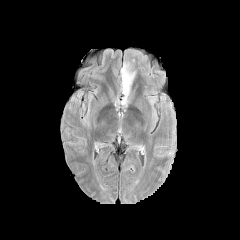
FLAIR magnetic resonance.
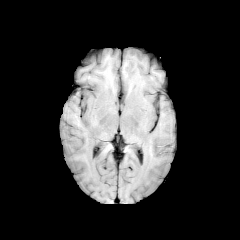
T1-weighted MRI.
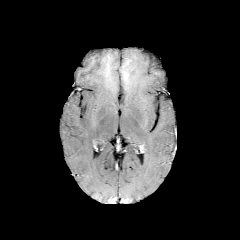
Post-contrast T1-weighted magnetic resonance.
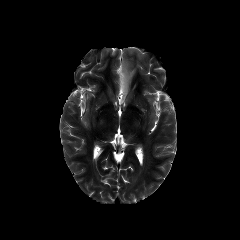
T2-weighted MRI.
peritumoral edema: bounding box 121, 63, 135, 99